FLAIR MR.
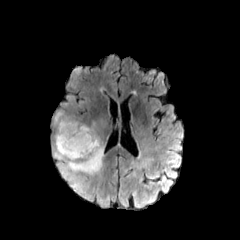
T1-weighted MR image.
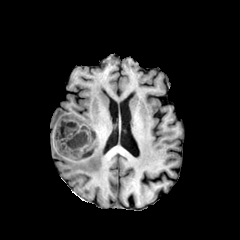
Post-contrast T1-weighted magnetic resonance.
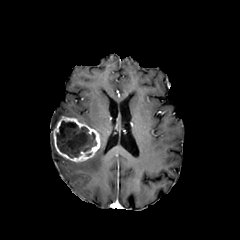
T2-weighted magnetic resonance.
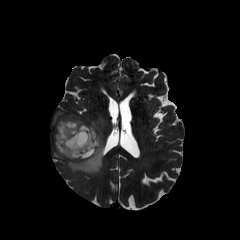
Axial view, Brain
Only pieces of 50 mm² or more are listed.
The enhancing tumor appears at box=[53, 116, 100, 161]. The largest necrotic tumor core region lies within box=[56, 121, 96, 157]. The 2 largest peritumoral edema regions are bounded by box=[52, 110, 76, 130]; box=[51, 119, 105, 198].